Slice 107/155
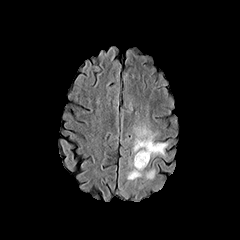
FLAIR MRI.
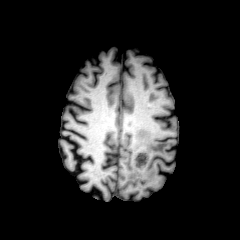
Same slice, T1-weighted MR image.
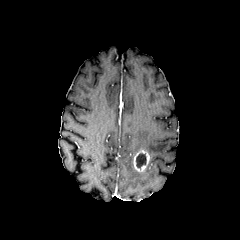
Post-contrast T1-weighted MR.
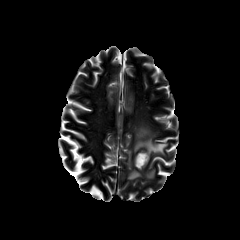
T2-weighted MRI.
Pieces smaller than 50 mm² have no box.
• peritumoral edema: left=133, top=125, right=168, bottom=156; left=145, top=168, right=155, bottom=179; left=127, top=168, right=143, bottom=180
• enhancing tumor: left=133, top=150, right=150, bottom=171
• necrotic tumor core: left=136, top=153, right=146, bottom=168